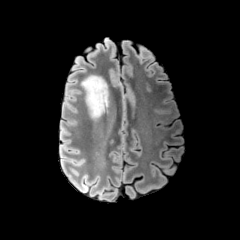
FLAIR magnetic resonance.
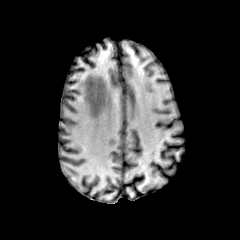
T1-weighted MRI of the same slice.
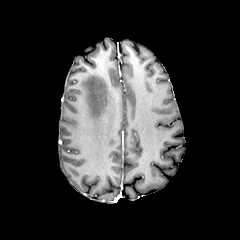
Post-contrast T1-weighted MR image.
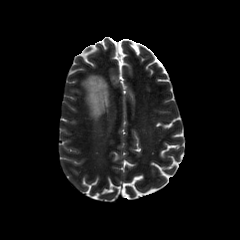
T2-weighted MRI.
Brain.
peritumoral edema: 81:75:109:119